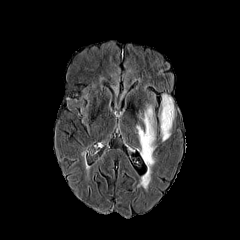
FLAIR magnetic resonance.
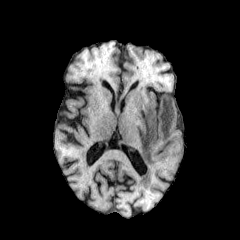
T1-weighted magnetic resonance of the same slice.
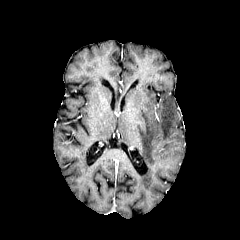
Post-contrast T1-weighted MRI of the same slice.
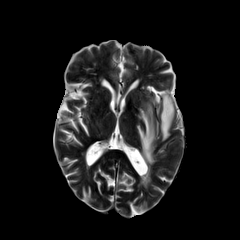
Same slice, T2-weighted MRI.
240x240 px. Axial plane.
{
  "peritumoral_edema": [
    "(136, 104, 156, 170)",
    "(160, 94, 174, 141)"
  ]
}